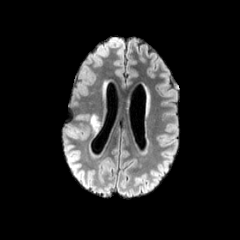
FLAIR MRI.
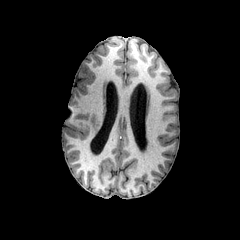
T1-weighted MR image of the same slice.
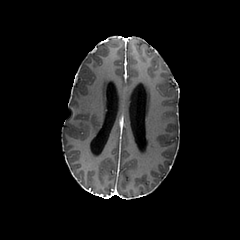
Post-contrast T1-weighted MR.
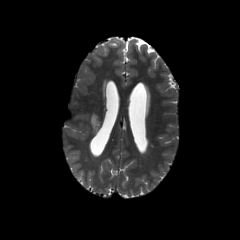
Same slice, T2-weighted MR image.
Brain; Axial plane; 240x240
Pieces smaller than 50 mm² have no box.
The largest peritumoral edema region appears at 90, 114, 99, 133.